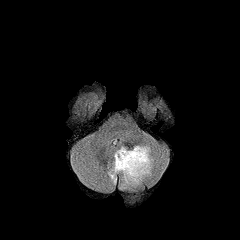
FLAIR MRI.
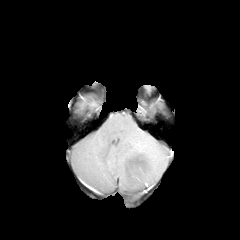
Same slice, T1-weighted MR image.
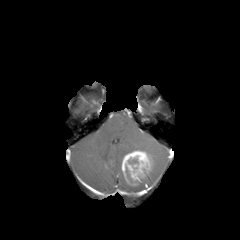
Same slice, post-contrast T1-weighted magnetic resonance.
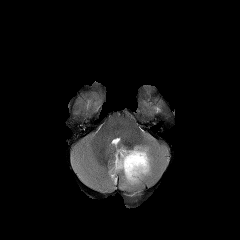
T2-weighted magnetic resonance.
240x240
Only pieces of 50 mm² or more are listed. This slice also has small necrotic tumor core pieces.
{"enhancing_tumor": ["121, 150, 151, 184"], "peritumoral_edema": ["108, 145, 155, 188"]}